FLAIR magnetic resonance.
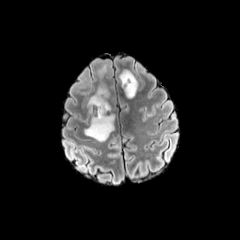
T1-weighted magnetic resonance.
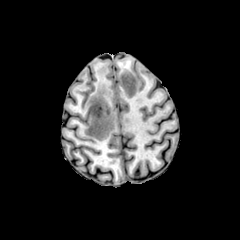
Post-contrast T1-weighted MR.
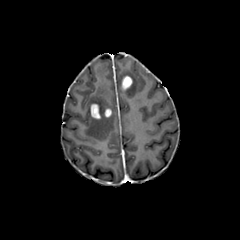
T2-weighted MRI.
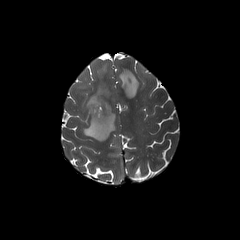
Brain, Axial plane, 240x240 px
{
  "peritumoral_edema": [
    "bbox(84, 60, 115, 141)",
    "bbox(119, 68, 138, 98)",
    "bbox(79, 74, 88, 89)"
  ],
  "enhancing_tumor": [
    "bbox(122, 76, 132, 89)",
    "bbox(90, 104, 101, 119)",
    "bbox(104, 108, 111, 117)"
  ]
}